240x240.
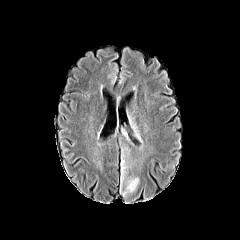
FLAIR MR.
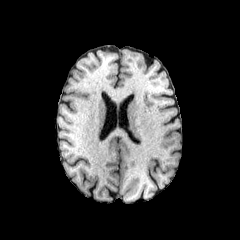
T1-weighted MR.
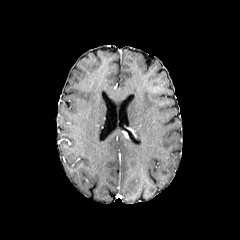
Post-contrast T1-weighted MRI.
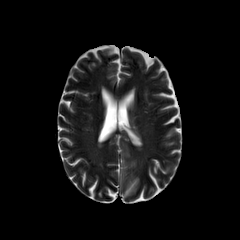
Same slice, T2-weighted MR image.
peritumoral edema — 120:160:125:178, 127:177:139:192